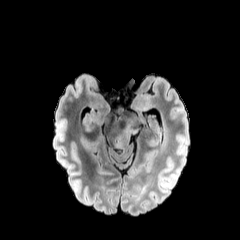
FLAIR MRI.
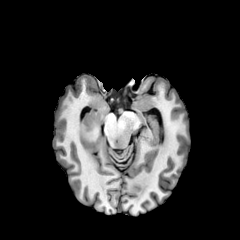
Same slice, T1-weighted MRI.
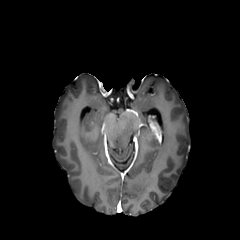
Same slice, post-contrast T1-weighted MR image.
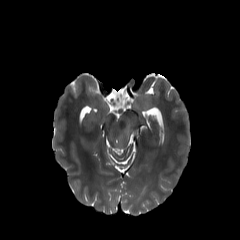
Same slice, T2-weighted MR.
Axial view
Findings:
• peritumoral edema: (x1=116, y1=124, x2=136, y2=146)